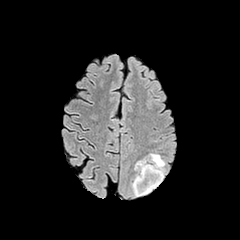
FLAIR MR.
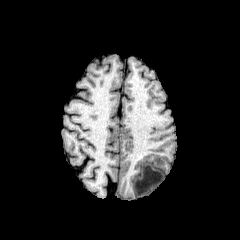
Same slice, T1-weighted MR image.
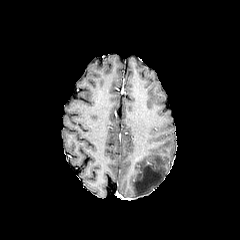
Post-contrast T1-weighted MRI of the same slice.
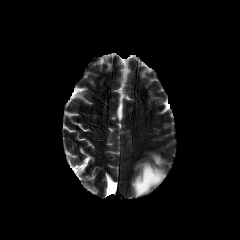
T2-weighted MR of the same slice.
Axial plane. Head. 240x240.
peritumoral_edema:
  - box=[132, 153, 165, 196]